FLAIR MR.
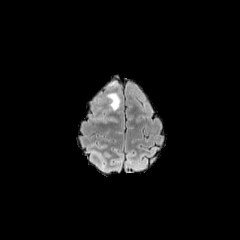
T1-weighted magnetic resonance.
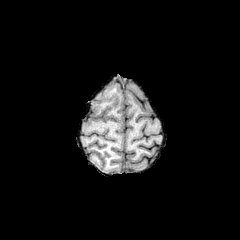
Post-contrast T1-weighted MRI.
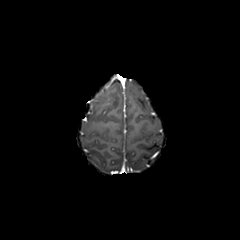
T2-weighted magnetic resonance.
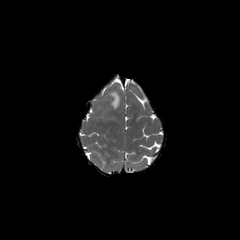
Head.
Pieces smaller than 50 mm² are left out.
peritumoral edema: bounding box rect(107, 93, 119, 110)